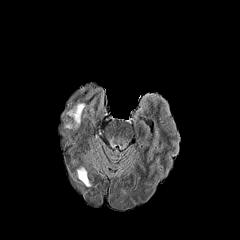
FLAIR magnetic resonance.
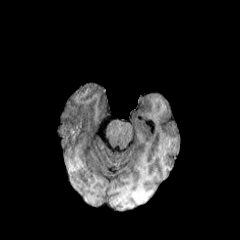
Same slice, T1-weighted MR image.
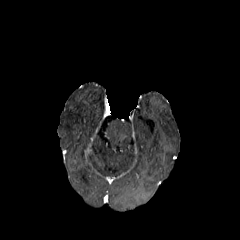
Same slice, post-contrast T1-weighted MR.
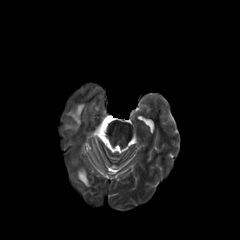
T2-weighted MR image of the same slice.
Brain, Axial view
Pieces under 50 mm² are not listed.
peritumoral edema = {"x1": 78, "y1": 168, "x2": 90, "y2": 186}, {"x1": 68, "y1": 103, "x2": 84, "y2": 123}